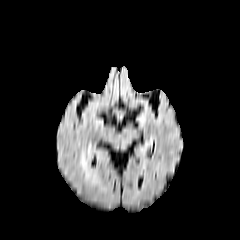
FLAIR MR image.
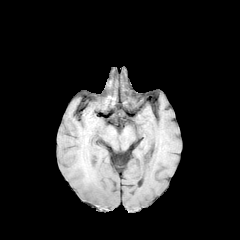
T1-weighted MR.
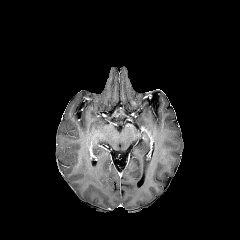
Same slice, post-contrast T1-weighted MRI.
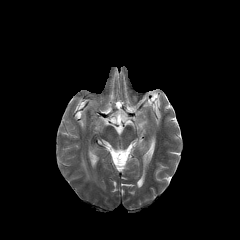
T2-weighted MR image.
Head
peritumoral edema: box=[81, 157, 89, 177]